Head | 240x240 | Axial slice
FLAIR MR image.
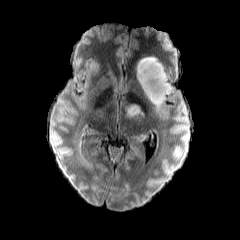
T1-weighted MR image.
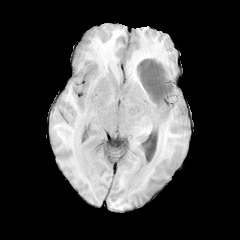
Post-contrast T1-weighted magnetic resonance.
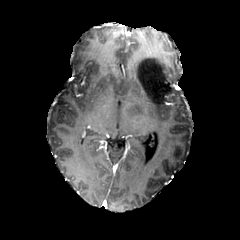
T2-weighted MR image.
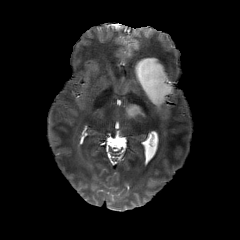
2 peritumoral edema regions are located at [x1=127, y1=103, x2=144, y2=115], [x1=136, y1=56, x2=171, y2=107].